Axial slice | 240x240 | Head
FLAIR MR image.
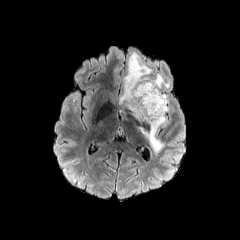
T1-weighted magnetic resonance.
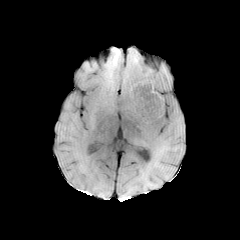
Post-contrast T1-weighted MR.
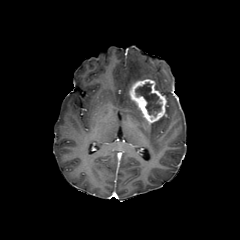
T2-weighted MRI.
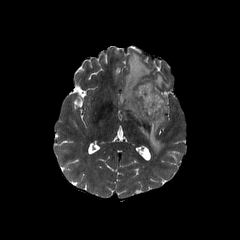
peritumoral edema = l=139, t=114, r=166, b=155; l=160, t=91, r=169, b=112; l=118, t=52, r=169, b=120
enhancing tumor = l=129, t=79, r=166, b=124
necrotic tumor core = l=135, t=82, r=161, b=116